FLAIR MRI.
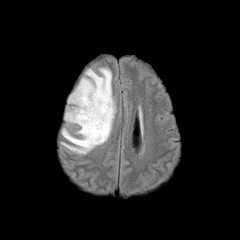
T1-weighted magnetic resonance.
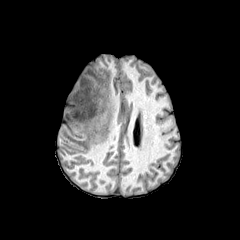
Post-contrast T1-weighted MRI.
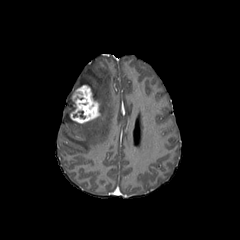
T2-weighted MR.
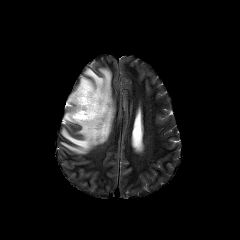
Axial view | Head
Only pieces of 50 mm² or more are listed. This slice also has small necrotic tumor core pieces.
enhancing tumor: 70, 85, 100, 123 | peritumoral edema: 61, 67, 115, 154